Slice index 93; Head; Axial view; Image covers 240 mm x 240 mm
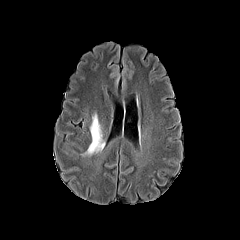
FLAIR MRI.
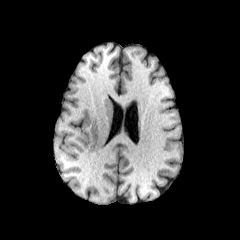
Same slice, T1-weighted MR.
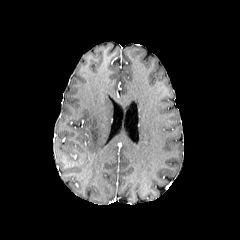
Post-contrast T1-weighted magnetic resonance.
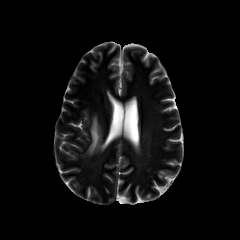
T2-weighted MRI.
Annotated regions:
* peritumoral edema: [85,114,104,154]